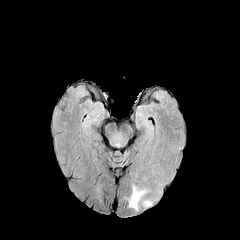
FLAIR MR.
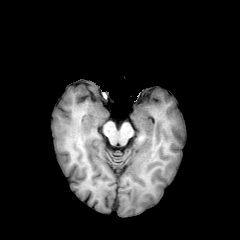
T1-weighted magnetic resonance of the same slice.
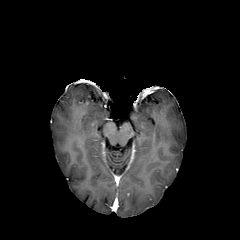
Post-contrast T1-weighted magnetic resonance.
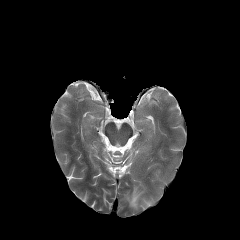
T2-weighted MR of the same slice.
Axial slice
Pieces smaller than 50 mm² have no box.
Segmented structures:
• peritumoral edema: <box>129,187,144,209</box>